240x240; Head; Image covers 240 mm x 240 mm
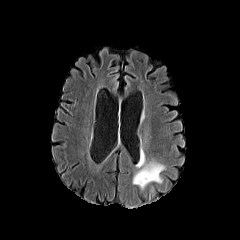
FLAIR MR image.
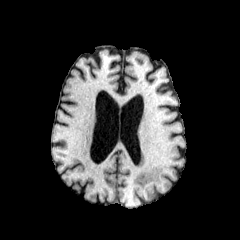
Same slice, T1-weighted MRI.
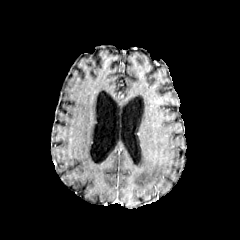
Post-contrast T1-weighted MRI.
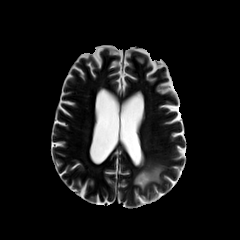
T2-weighted MR.
{"peritumoral_edema": ["133 163 164 188", "137 149 144 167"]}